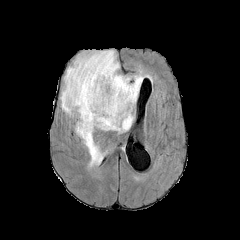
FLAIR MRI.
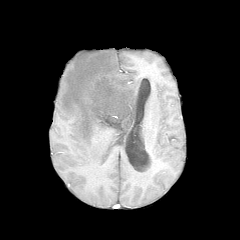
Same slice, T1-weighted MRI.
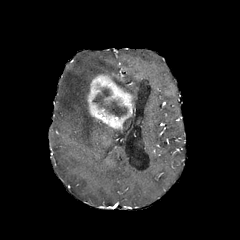
Post-contrast T1-weighted MR image.
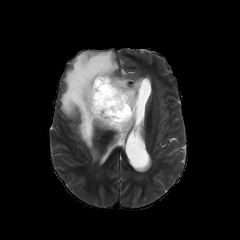
T2-weighted MR image.
Brain | Image size 240x240
enhancing tumor at rect(87, 73, 134, 129)
peritumoral edema at rect(60, 50, 151, 165)
necrotic tumor core at rect(93, 88, 127, 116)